FLAIR MR image.
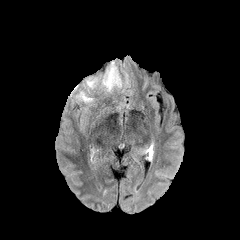
T1-weighted MR.
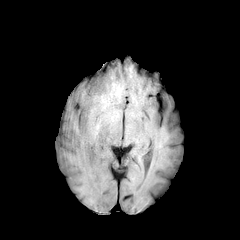
Post-contrast T1-weighted MR image.
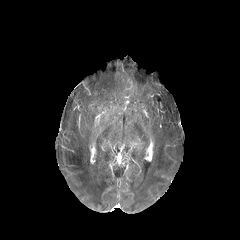
T2-weighted magnetic resonance.
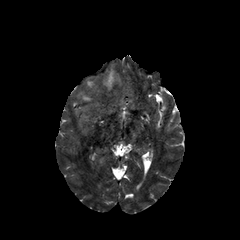
Axial slice
<segmentation>
  <peritumoral_edema>{"x1": 102, "y1": 68, "x2": 121, "y2": 91}, {"x1": 87, "y1": 80, "x2": 96, "y2": 88}, {"x1": 77, "y1": 91, "x2": 93, "y2": 102}</peritumoral_edema>
</segmentation>